Image width 240 mm, 1.00 mm slice spacing. Slice index 53. Brain. Axial slice.
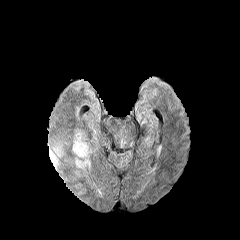
FLAIR MR.
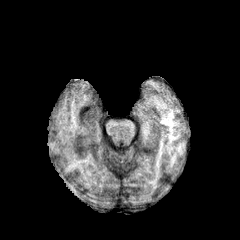
T1-weighted MR.
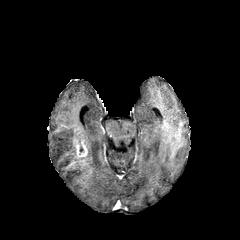
Same slice, post-contrast T1-weighted MR.
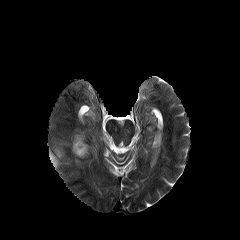
T2-weighted MR image of the same slice.
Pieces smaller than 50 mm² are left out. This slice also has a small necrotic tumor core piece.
peritumoral edema: bounding box box=[49, 150, 58, 167]; box=[54, 147, 62, 156]
enhancing tumor: bounding box box=[73, 134, 87, 157]